Slice 98/155. 240x240. Brain. Axial view.
FLAIR MR.
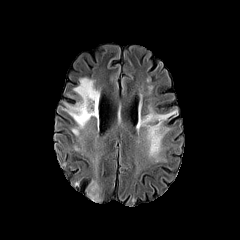
T1-weighted MR image.
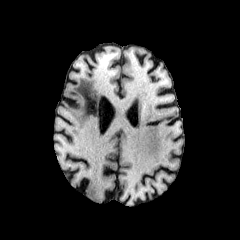
Post-contrast T1-weighted magnetic resonance.
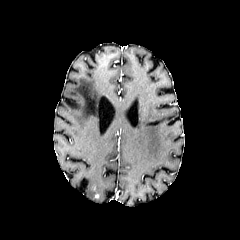
T2-weighted MRI.
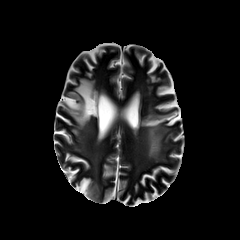
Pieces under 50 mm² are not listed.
The 3 largest peritumoral edema regions are located at left=140, top=105, right=177, bottom=157; left=85, top=179, right=102, bottom=202; left=64, top=78, right=99, bottom=128.